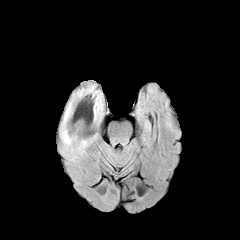
FLAIR magnetic resonance.
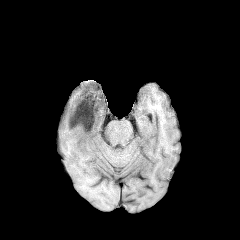
T1-weighted MRI of the same slice.
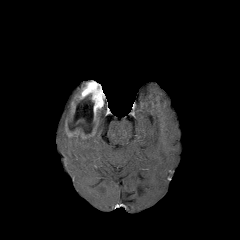
Post-contrast T1-weighted MRI.
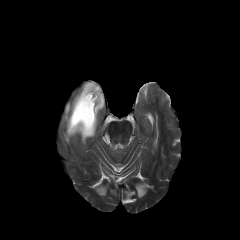
Same slice, T2-weighted MR image.
Image size 240x240
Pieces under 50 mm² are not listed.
• enhancing tumor: [65,81,104,139]
• peritumoral edema: [60,89,97,152]
• necrotic tumor core: [68,96,93,133]